Head.
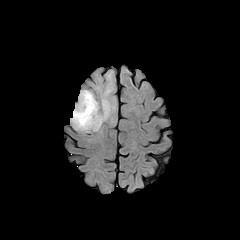
FLAIR magnetic resonance.
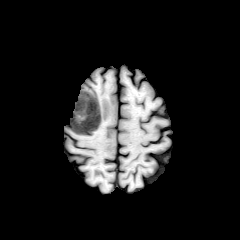
T1-weighted MRI of the same slice.
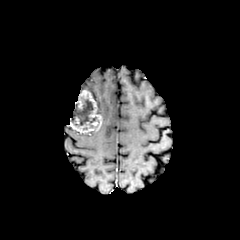
Post-contrast T1-weighted MR image of the same slice.
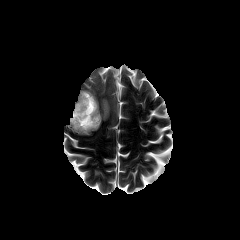
T2-weighted MR.
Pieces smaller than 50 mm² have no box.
necrotic tumor core at <bbox>71, 99, 96, 125</bbox>
peritumoral edema at <bbox>87, 76, 115, 123</bbox>
enhancing tumor at <bbox>70, 90, 101, 133</bbox>